Image size 240x240; Slice 52/155; Axial plane
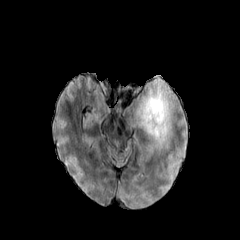
FLAIR MR.
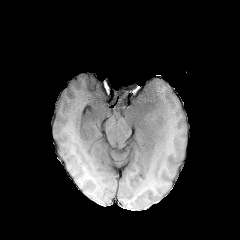
T1-weighted MRI.
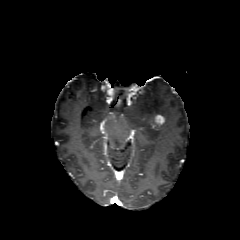
Post-contrast T1-weighted MR image.
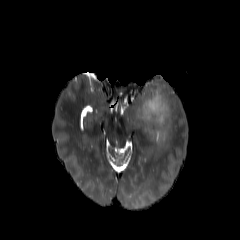
T2-weighted MR image.
The peritumoral edema lies within 135 82 170 146. The enhancing tumor appears at 153 114 164 126.